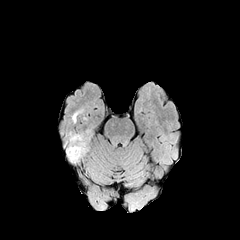
FLAIR magnetic resonance.
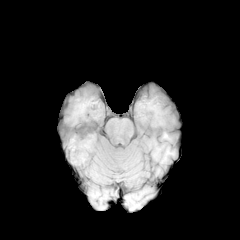
Same slice, T1-weighted magnetic resonance.
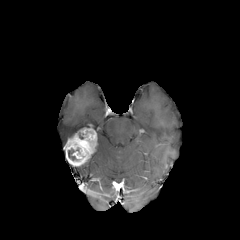
Post-contrast T1-weighted MR image of the same slice.
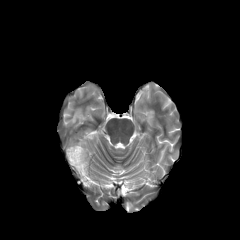
T2-weighted MR image.
Brain | Axial view
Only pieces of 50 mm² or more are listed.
The peritumoral edema lies within [72, 110, 81, 122]. The enhancing tumor is at [64, 128, 96, 166]. The largest necrotic tumor core region is at [68, 149, 76, 160].